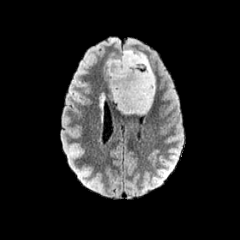
FLAIR MRI.
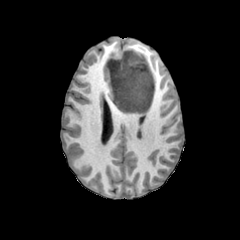
Same slice, T1-weighted MRI.
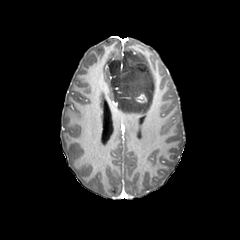
Same slice, post-contrast T1-weighted MRI.
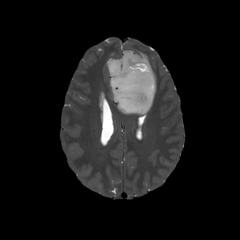
T2-weighted MR image of the same slice.
Image size 240x240
enhancing tumor: region(135, 94, 147, 102) | peritumoral edema: region(107, 49, 155, 114)